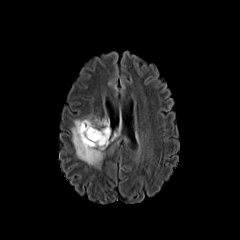
FLAIR MR.
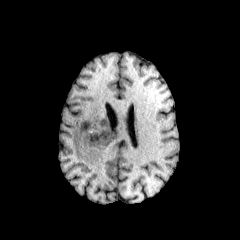
Same slice, T1-weighted magnetic resonance.
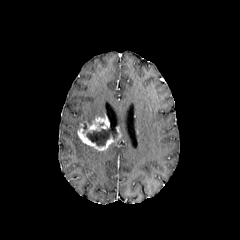
Post-contrast T1-weighted MR image of the same slice.
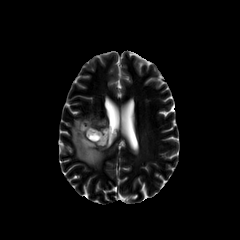
T2-weighted MRI.
Axial view | 240x240 px | Brain
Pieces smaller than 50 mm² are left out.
Segmented structures:
* peritumoral edema: x1=71, y1=115, x2=104, y2=168
* enhancing tumor: x1=77, y1=116, x2=114, y2=150
* necrotic tumor core: x1=86, y1=128, x2=118, y2=146